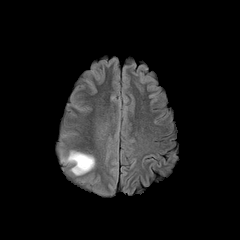
FLAIR magnetic resonance.
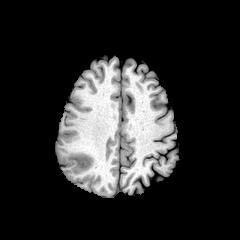
T1-weighted MR of the same slice.
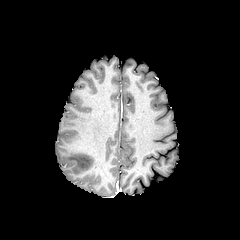
Post-contrast T1-weighted MR of the same slice.
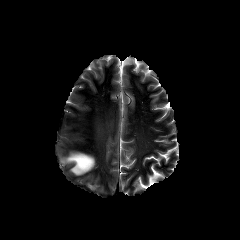
T2-weighted MR of the same slice.
peritumoral edema: bounding box bbox=[62, 152, 94, 175]